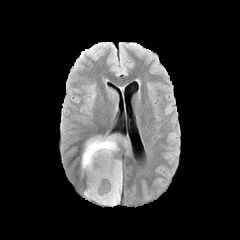
FLAIR MR image.
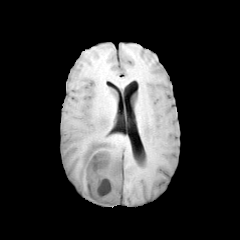
T1-weighted MR of the same slice.
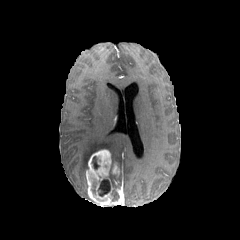
Post-contrast T1-weighted MR image.
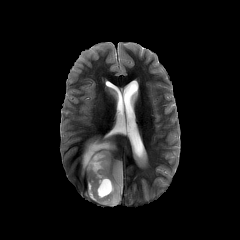
T2-weighted MR.
Head. Axial plane.
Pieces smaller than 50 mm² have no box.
<segmentation>
  <enhancing_tumor>l=112, t=162, r=120, b=177; l=86, t=149, r=122, b=206</enhancing_tumor>
  <necrotic_tumor_core>l=92, t=156, r=99, b=169; l=98, t=179, r=110, b=196</necrotic_tumor_core>
  <peritumoral_edema>l=109, t=160, r=122, b=187; l=82, t=133, r=131, b=170</peritumoral_edema>
</segmentation>